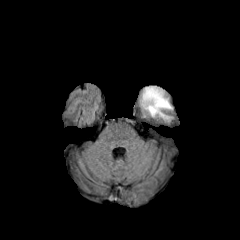
FLAIR MRI.
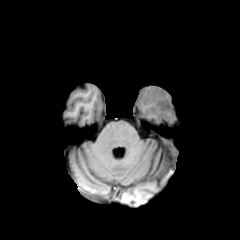
T1-weighted MR.
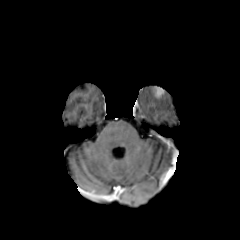
Post-contrast T1-weighted MR of the same slice.
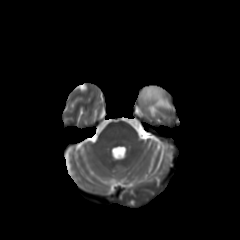
Same slice, T2-weighted MR image.
Image size 240x240. Axial slice.
The peritumoral edema lies within <bbox>138, 85, 174, 122</bbox>. The enhancing tumor appears at <bbox>153, 85, 164, 98</bbox>.